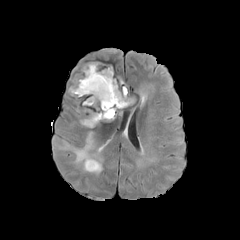
FLAIR MR image.
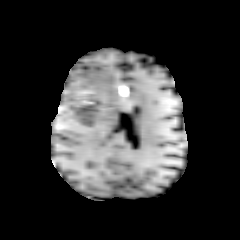
T1-weighted MRI.
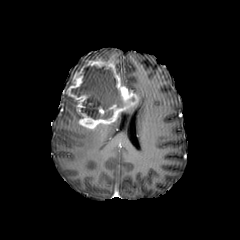
Post-contrast T1-weighted magnetic resonance.
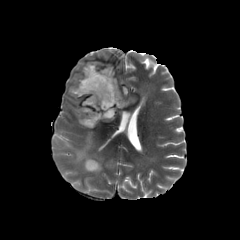
Same slice, T2-weighted MR.
Image size 240x240
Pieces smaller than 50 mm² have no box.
Findings:
- necrotic tumor core: [x1=87, y1=159, x2=96, y2=167], [x1=71, y1=66, x2=123, y2=119]
- peritumoral edema: [x1=59, y1=131, x2=102, y2=173]
- enhancing tumor: [x1=66, y1=61, x2=138, y2=129]